Slice 68/155 | Image size 240x240
FLAIR MR image.
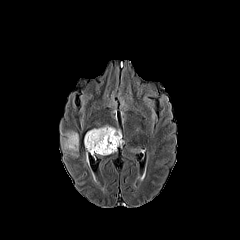
T1-weighted magnetic resonance.
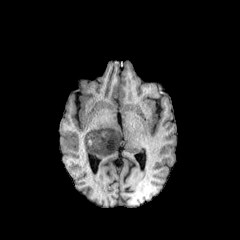
Post-contrast T1-weighted MR image.
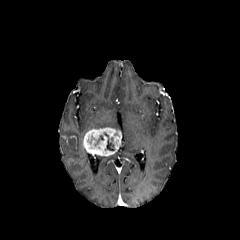
T2-weighted magnetic resonance.
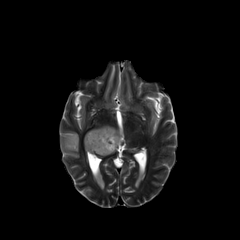
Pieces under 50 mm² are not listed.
Segmented structures:
• enhancing tumor: {"x1": 83, "y1": 127, "x2": 121, "y2": 155}
• necrotic tumor core: {"x1": 104, "y1": 133, "x2": 114, "y2": 150}
• peritumoral edema: {"x1": 61, "y1": 131, "x2": 78, "y2": 156}